FLAIR MRI.
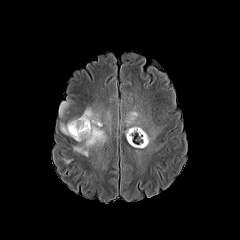
T1-weighted MR.
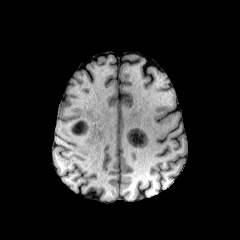
Post-contrast T1-weighted magnetic resonance.
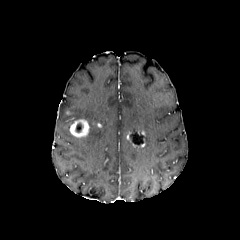
T2-weighted MR.
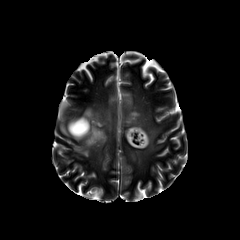
Axial plane. Image size 240x240. Brain.
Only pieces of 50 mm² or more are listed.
necrotic tumor core at box(130, 132, 143, 145)
peritumoral edema at box(60, 101, 69, 116); box(125, 110, 140, 126); box(125, 125, 142, 135); box(138, 130, 155, 148); box(60, 107, 107, 156)
enhancing tumor at box(69, 118, 89, 138); box(126, 130, 145, 147)